Brain; Slice 41/155
FLAIR MR image.
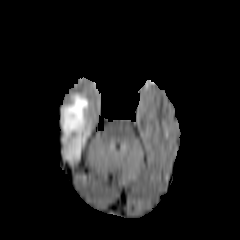
T1-weighted MR.
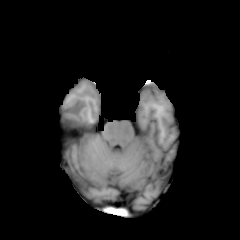
Post-contrast T1-weighted magnetic resonance.
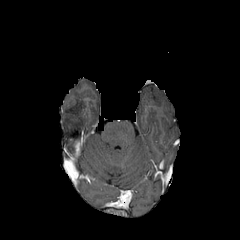
T2-weighted MR image.
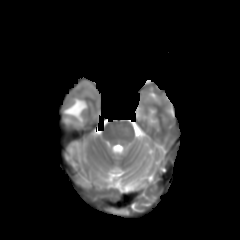
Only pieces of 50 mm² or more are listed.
peritumoral edema: region(61, 95, 90, 160) | enhancing tumor: region(76, 139, 79, 157)